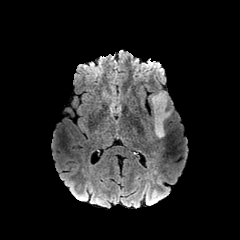
FLAIR MRI.
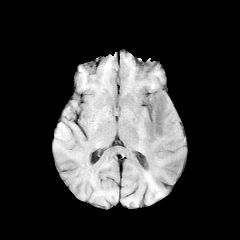
Same slice, T1-weighted MR.
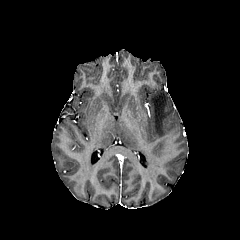
Post-contrast T1-weighted MR.
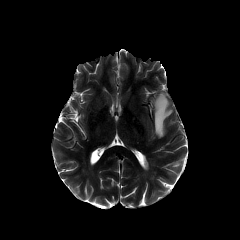
Same slice, T2-weighted magnetic resonance.
Image size 240x240
peritumoral edema = rect(151, 92, 171, 137)